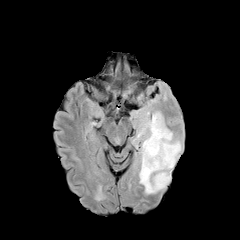
FLAIR MR.
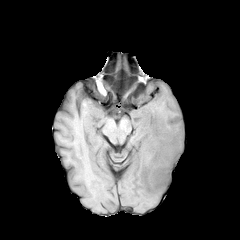
Same slice, T1-weighted magnetic resonance.
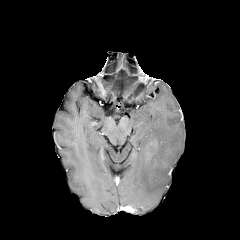
Same slice, post-contrast T1-weighted magnetic resonance.
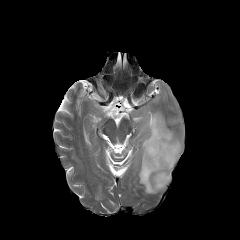
T2-weighted MR image of the same slice.
Axial view, 240x240 px
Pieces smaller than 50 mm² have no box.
<segmentation>
  <peritumoral_edema>133 111 182 194</peritumoral_edema>
</segmentation>